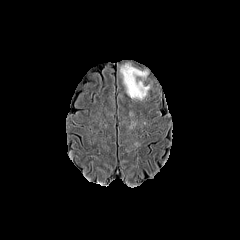
FLAIR magnetic resonance.
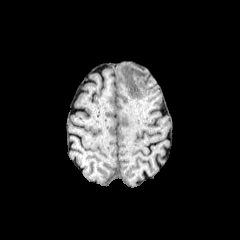
T1-weighted MR image.
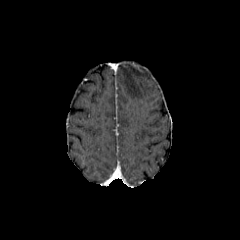
Post-contrast T1-weighted MR image.
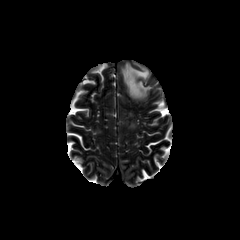
T2-weighted MR of the same slice.
peritumoral edema = (left=120, top=64, right=150, bottom=99)